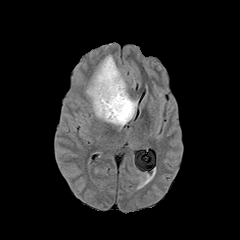
FLAIR MR.
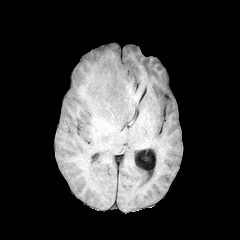
Same slice, T1-weighted MR.
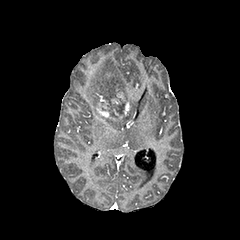
Same slice, post-contrast T1-weighted MR image.
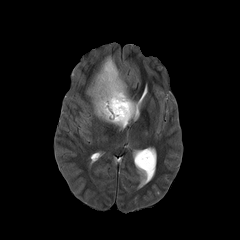
Same slice, T2-weighted MR.
Axial view, Head
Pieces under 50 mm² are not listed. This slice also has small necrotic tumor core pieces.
The peritumoral edema is bounded by bbox(86, 55, 137, 126). The enhancing tumor lies within bbox(97, 92, 130, 120).